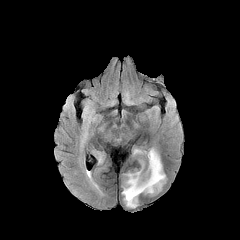
FLAIR MR image.
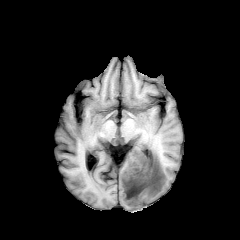
T1-weighted magnetic resonance of the same slice.
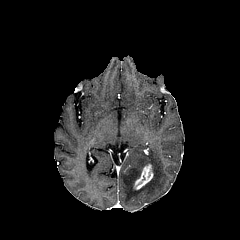
Post-contrast T1-weighted MRI.
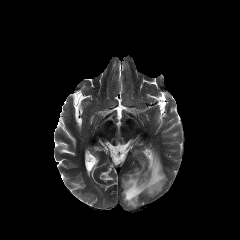
T2-weighted MRI of the same slice.
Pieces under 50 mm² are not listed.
peritumoral edema at l=122, t=148, r=165, b=207
enhancing tumor at l=133, t=164, r=153, b=189